FLAIR MR.
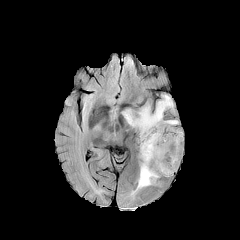
T1-weighted MRI.
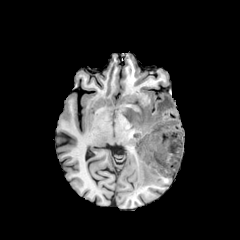
Post-contrast T1-weighted MRI.
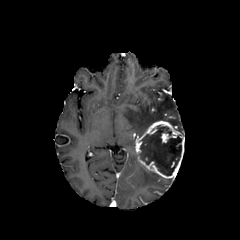
T2-weighted MR image.
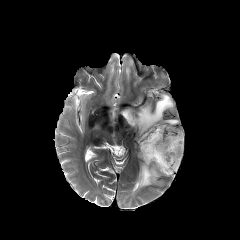
Brain; 240x240; Axial plane
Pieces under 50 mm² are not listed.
{"enhancing_tumor": ["(135, 120, 184, 178)"], "peritumoral_edema": ["(136, 164, 160, 189)", "(122, 94, 173, 136)", "(166, 120, 178, 126)"], "necrotic_tumor_core": ["(140, 126, 181, 175)"]}